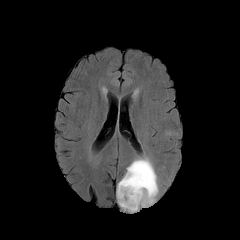
FLAIR magnetic resonance.
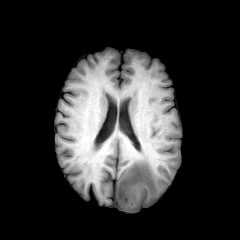
T1-weighted MRI.
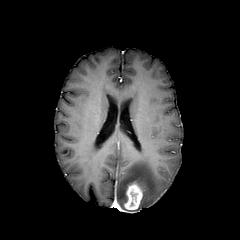
Same slice, post-contrast T1-weighted MRI.
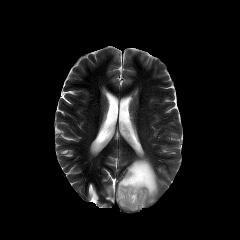
T2-weighted MRI.
Head. Axial view.
peritumoral edema — x1=117, y1=158, x2=158, y2=212
enhancing tumor — x1=124, y1=184, x2=142, y2=209